FLAIR MR image.
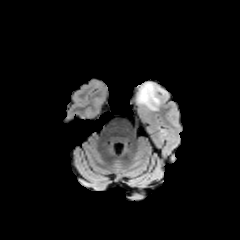
T1-weighted MR.
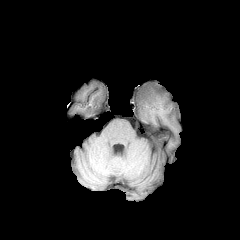
Post-contrast T1-weighted magnetic resonance.
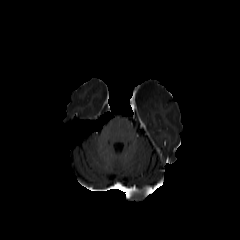
T2-weighted MR image.
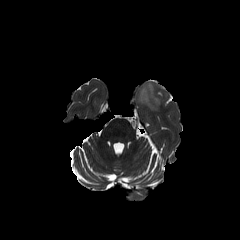
peritumoral edema = <box>136,82,164,110</box>